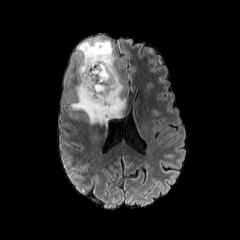
FLAIR MRI.
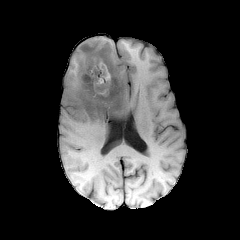
T1-weighted MR image.
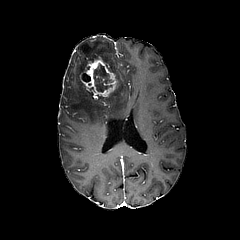
Post-contrast T1-weighted MRI of the same slice.
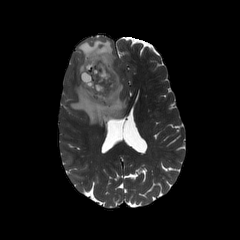
T2-weighted MR image of the same slice.
Axial plane
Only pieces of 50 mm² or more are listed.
enhancing tumor: {"x1": 81, "y1": 57, "x2": 117, "y2": 99} | necrotic tumor core: {"x1": 93, "y1": 63, "x2": 112, "y2": 92}, {"x1": 82, "y1": 73, "x2": 90, "y2": 82} | peritumoral edema: {"x1": 67, "y1": 38, "x2": 126, "y2": 124}